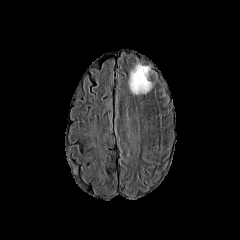
FLAIR MR image.
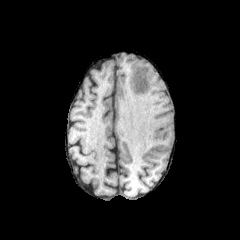
T1-weighted MRI.
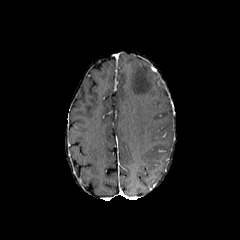
Post-contrast T1-weighted MR image.
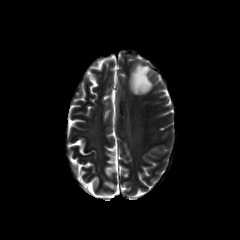
T2-weighted MRI of the same slice.
Axial view, Brain
peritumoral edema at region(129, 64, 151, 94)